Brain | Slice 69/155
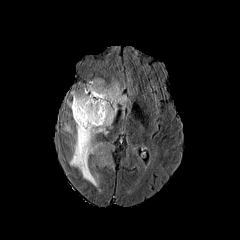
FLAIR MR.
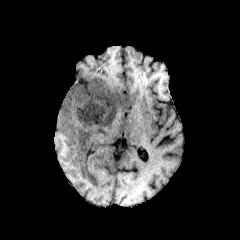
T1-weighted magnetic resonance.
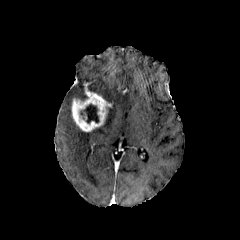
Post-contrast T1-weighted MR image of the same slice.
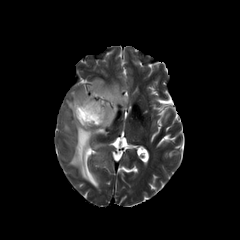
T2-weighted MRI.
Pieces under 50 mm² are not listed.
<segmentation>
  <necrotic_tumor_core>(x1=80, y1=104, x2=99, y2=123)</necrotic_tumor_core>
  <enhancing_tumor>(x1=71, y1=91, x2=111, y2=132)</enhancing_tumor>
  <peritumoral_edema>(x1=70, y1=86, x2=86, y2=99), (x1=64, y1=123, x2=72, y2=133), (x1=70, y1=79, x2=128, y2=187)</peritumoral_edema>
</segmentation>